FLAIR magnetic resonance.
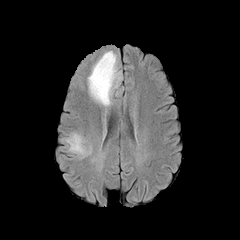
T1-weighted MR.
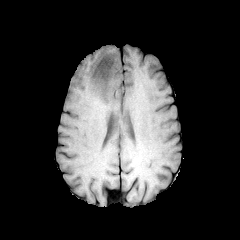
Post-contrast T1-weighted MR image.
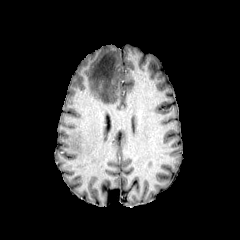
T2-weighted MR image.
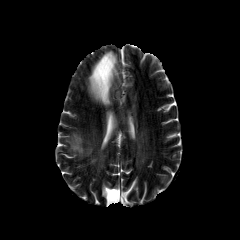
Axial slice
peritumoral edema: [88,50,120,105]